Axial slice; Head; Slice 39 of 155; 240x240
FLAIR MRI.
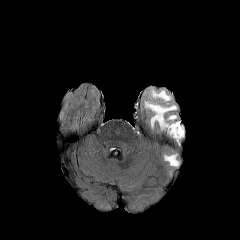
T1-weighted MR.
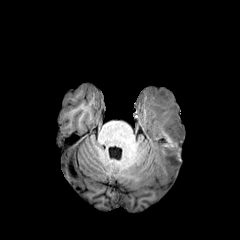
Post-contrast T1-weighted MR image.
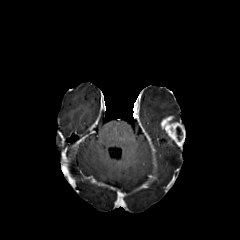
T2-weighted MR image.
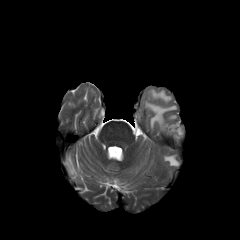
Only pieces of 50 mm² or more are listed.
The necrotic tumor core is bounded by 176, 127, 182, 140. The 3 largest peritumoral edema regions are located at 152, 90, 170, 101; 145, 102, 176, 126; 164, 155, 178, 165. The enhancing tumor appears at 160, 115, 184, 147.